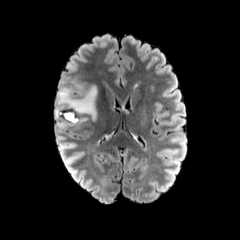
FLAIR MR image.
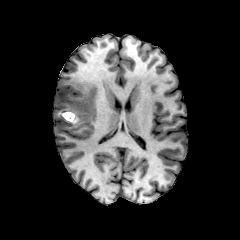
Same slice, T1-weighted MR.
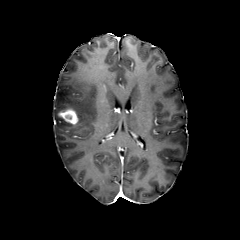
Post-contrast T1-weighted MR image.
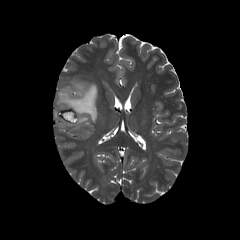
T2-weighted MR image of the same slice.
Axial plane, 240x240, Brain
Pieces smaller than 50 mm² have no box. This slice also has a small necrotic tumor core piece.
enhancing tumor: 57,108,78,124 | peritumoral edema: 54,78,97,128